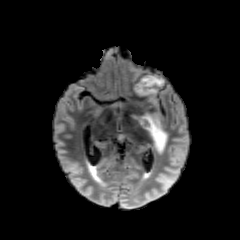
FLAIR MRI.
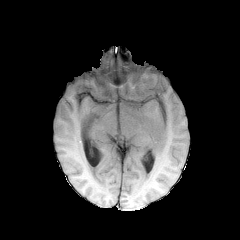
T1-weighted MR image.
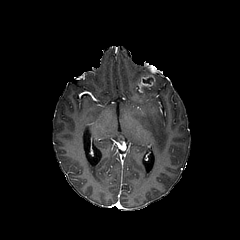
Post-contrast T1-weighted MR.
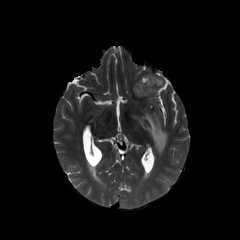
T2-weighted magnetic resonance.
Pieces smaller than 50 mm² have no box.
Findings:
* enhancing tumor: [135, 75, 155, 95]
* necrotic tumor core: [143, 77, 153, 83]
* peritumoral edema: [141, 114, 167, 152], [152, 75, 162, 85], [142, 87, 156, 95]